Axial slice, Slice 50/155
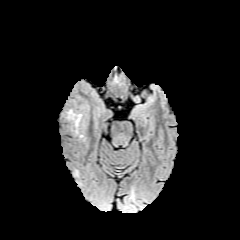
FLAIR MRI.
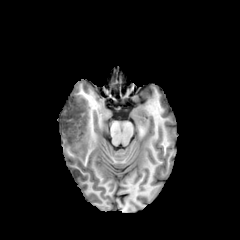
Same slice, T1-weighted magnetic resonance.
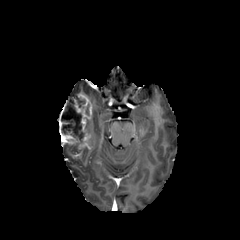
Post-contrast T1-weighted MR of the same slice.
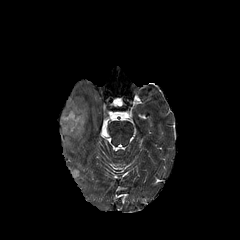
T2-weighted MR image.
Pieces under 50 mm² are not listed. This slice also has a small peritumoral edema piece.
The enhancing tumor appears at (left=59, top=93, right=92, bottom=157). The 2 largest necrotic tumor core regions are bounded by (left=76, top=98, right=84, bottom=107), (left=61, top=99, right=84, bottom=142).